FLAIR magnetic resonance.
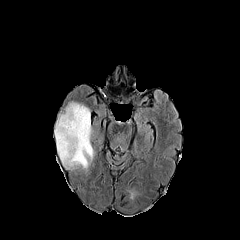
T1-weighted MR.
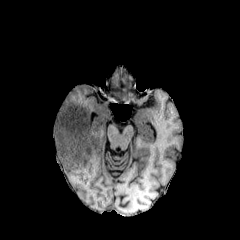
Post-contrast T1-weighted magnetic resonance.
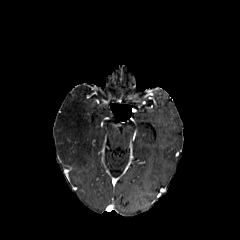
T2-weighted MR image.
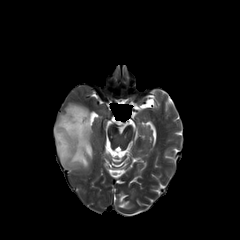
Head
Segmented structures:
• peritumoral edema: <bbox>54, 102, 93, 168</bbox>